FLAIR MRI.
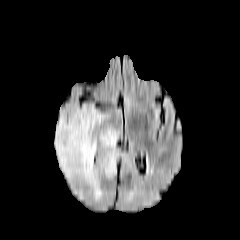
T1-weighted magnetic resonance.
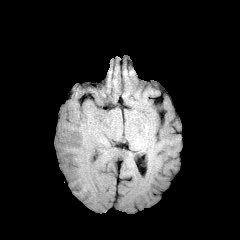
Post-contrast T1-weighted MR.
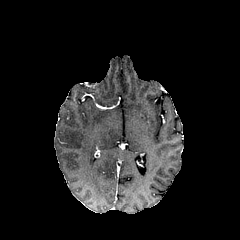
T2-weighted MRI.
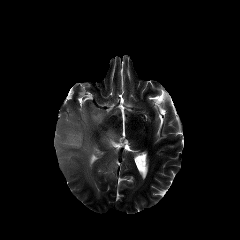
Brain
Findings:
• peritumoral edema: [54, 104, 119, 200]